FLAIR MR.
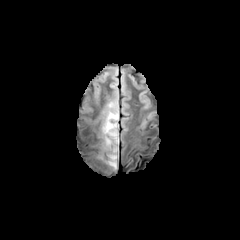
T1-weighted magnetic resonance.
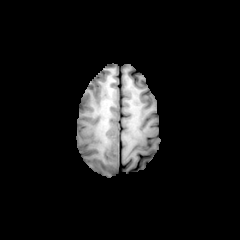
Post-contrast T1-weighted MRI.
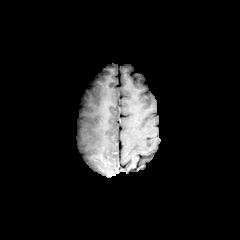
T2-weighted magnetic resonance.
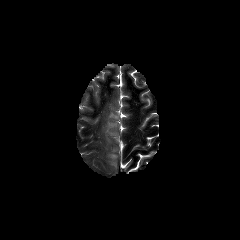
Brain. Image size 240x240.
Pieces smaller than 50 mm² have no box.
The 2 largest peritumoral edema regions appear at (103,112,118,142), (109,154,116,166).